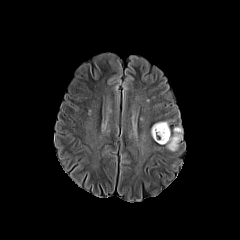
FLAIR MR image.
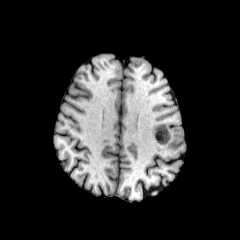
Same slice, T1-weighted MR.
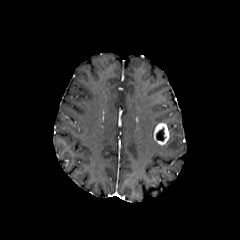
Post-contrast T1-weighted MRI.
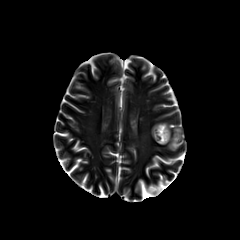
Same slice, T2-weighted MR image.
Image size 240x240 | Head
<segmentation>
  <enhancing_tumor>region(153, 123, 169, 144)</enhancing_tumor>
  <peritumoral_edema>region(166, 127, 182, 151); region(151, 121, 168, 135)</peritumoral_edema>
  <necrotic_tumor_core>region(156, 128, 165, 141)</necrotic_tumor_core>
</segmentation>